Head, Axial slice
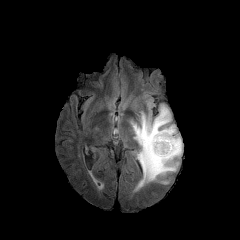
FLAIR MRI.
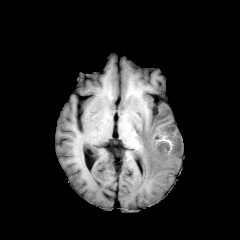
Same slice, T1-weighted magnetic resonance.
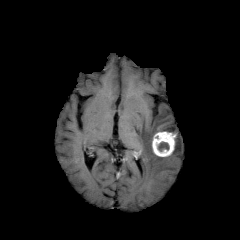
Same slice, post-contrast T1-weighted MR.
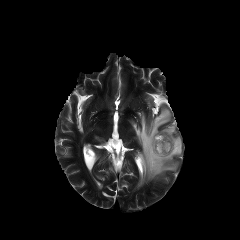
Same slice, T2-weighted MR.
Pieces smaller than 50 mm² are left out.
enhancing tumor at bbox(152, 131, 176, 156)
peritumoral edema at bbox(131, 104, 182, 187)
necrotic tumor core at bbox(158, 142, 168, 150)